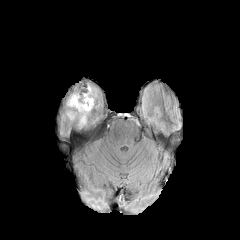
FLAIR MR.
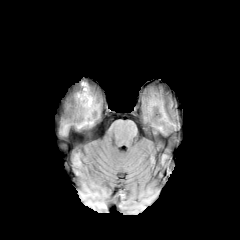
T1-weighted MRI.
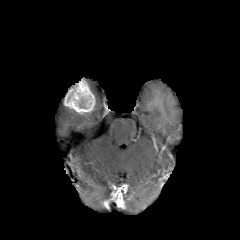
Post-contrast T1-weighted magnetic resonance of the same slice.
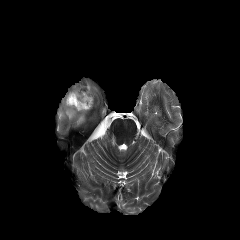
T2-weighted MR image of the same slice.
Head
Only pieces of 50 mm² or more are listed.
Segmented structures:
* necrotic tumor core: 79,98,86,108
* peritumoral edema: 66,107,89,124
* enhancing tumor: 64,81,94,113